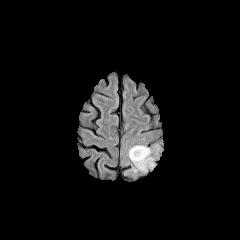
FLAIR MR.
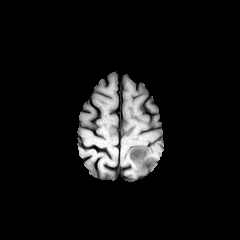
Same slice, T1-weighted MR.
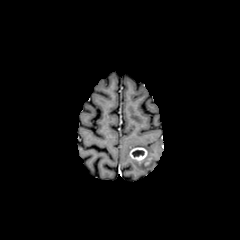
Post-contrast T1-weighted MR image.
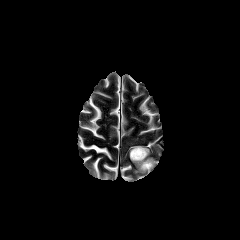
T2-weighted magnetic resonance.
Axial view
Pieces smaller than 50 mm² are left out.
necrotic_tumor_core:
  - x1=132 y1=150 x2=144 y2=156
peritumoral_edema:
  - x1=128 y1=145 x2=154 y2=172
enhancing_tumor:
  - x1=129 y1=147 x2=147 y2=163